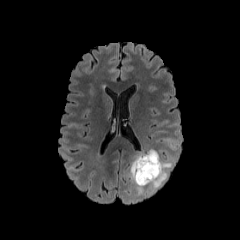
FLAIR MR.
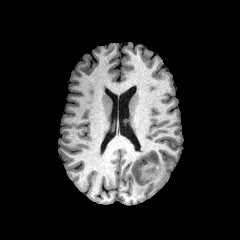
Same slice, T1-weighted MRI.
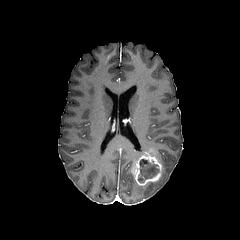
Post-contrast T1-weighted MR.
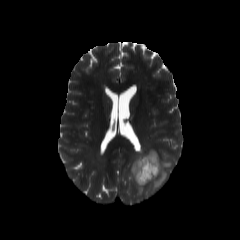
T2-weighted MR.
240x240 px.
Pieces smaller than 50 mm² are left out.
- peritumoral edema: <box>127,149,177,196</box>
- enhancing tumor: <box>132,152,162,185</box>
- necrotic tumor core: <box>138,159,158,182</box>